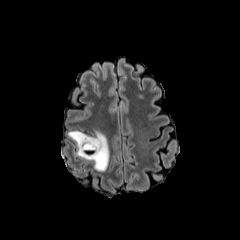
FLAIR MR.
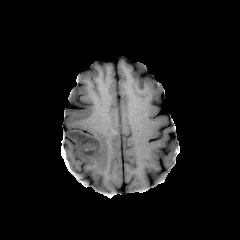
T1-weighted MR.
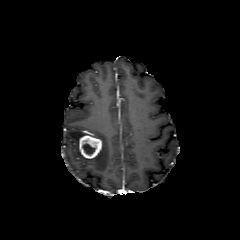
Post-contrast T1-weighted MR image.
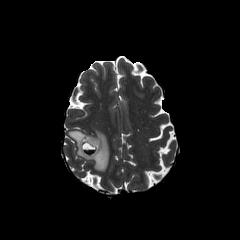
T2-weighted MR image.
Brain. Axial view.
peritumoral_edema:
  - x1=68, y1=130, x2=109, y2=171
necrotic_tumor_core:
  - x1=82, y1=144, x2=94, y2=154
enhancing_tumor:
  - x1=79, y1=135, x2=101, y2=158